FLAIR magnetic resonance.
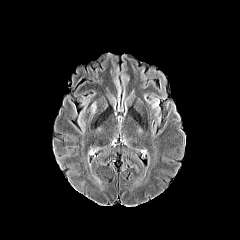
T1-weighted magnetic resonance.
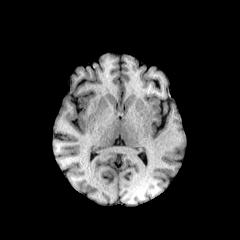
Post-contrast T1-weighted MRI.
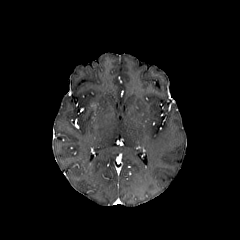
T2-weighted magnetic resonance.
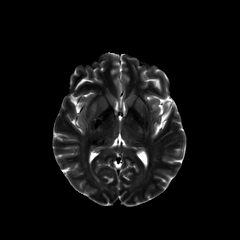
Axial view, Head
peritumoral edema at box(90, 103, 96, 115)